240x240. Slice index 86.
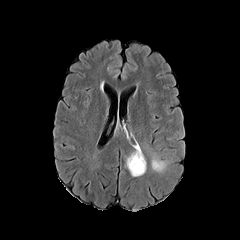
FLAIR MR.
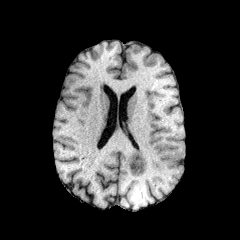
T1-weighted MR.
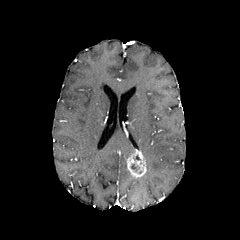
Same slice, post-contrast T1-weighted MRI.
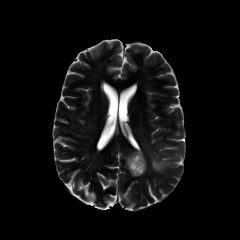
T2-weighted magnetic resonance.
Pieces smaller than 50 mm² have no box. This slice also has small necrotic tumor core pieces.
<segmentation>
  <peritumoral_edema>l=151, t=156, r=167, b=172</peritumoral_edema>
  <enhancing_tumor>l=126, t=149, r=146, b=177</enhancing_tumor>
</segmentation>